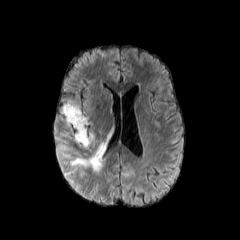
FLAIR magnetic resonance.
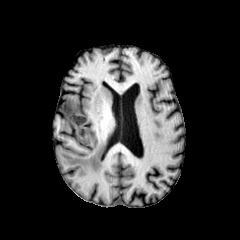
Same slice, T1-weighted MRI.
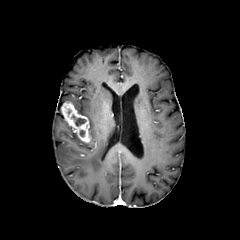
Post-contrast T1-weighted magnetic resonance.
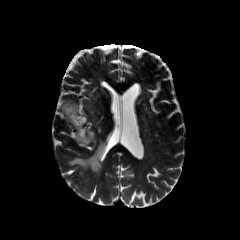
T2-weighted MR image.
240x240 px; Axial plane
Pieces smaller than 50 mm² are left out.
* enhancing tumor: 61,102,91,142
* necrotic tumor core: 72,115,85,126
* peritumoral edema: 75,132,93,146; 70,142,106,172